FLAIR MRI.
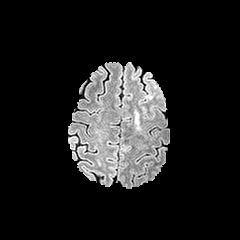
T1-weighted MRI.
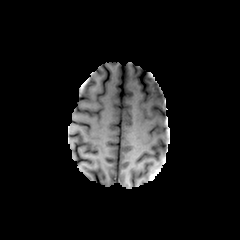
Post-contrast T1-weighted MRI.
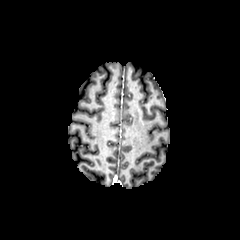
T2-weighted MRI.
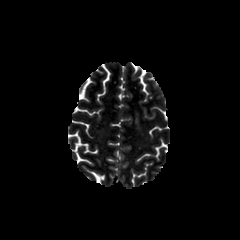
Axial slice | Image size 240x240 | Head
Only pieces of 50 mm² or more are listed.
<segmentation>
  <peritumoral_edema>x1=135, y1=112, x2=140, y2=129</peritumoral_edema>
</segmentation>